FLAIR MR.
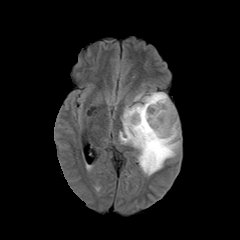
T1-weighted MRI.
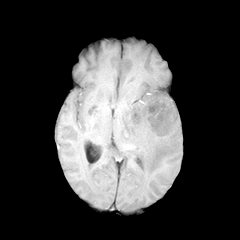
Post-contrast T1-weighted MR.
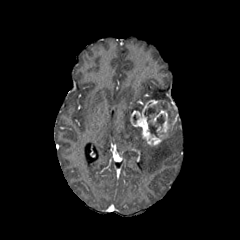
T2-weighted MR image.
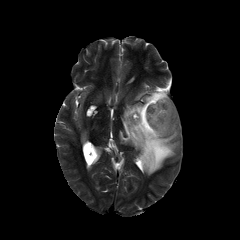
Brain; 240x240
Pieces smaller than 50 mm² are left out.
{"enhancing_tumor": ["bbox=[130, 99, 176, 145]"], "peritumoral_edema": ["bbox=[119, 87, 180, 175]"], "necrotic_tumor_core": ["bbox=[144, 102, 167, 121]", "bbox=[148, 115, 164, 137]"]}